Slice 64 of 155 | Axial view
FLAIR MRI.
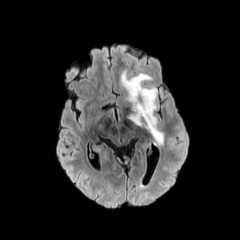
T1-weighted MR image.
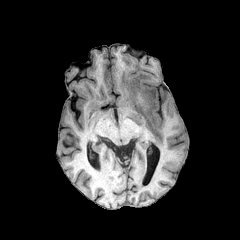
Post-contrast T1-weighted MRI.
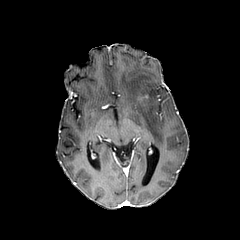
T2-weighted MR image.
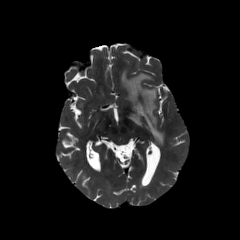
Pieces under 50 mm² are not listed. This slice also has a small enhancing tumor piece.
The peritumoral edema is at bbox(121, 71, 163, 144).